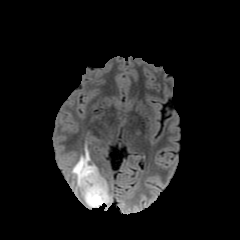
FLAIR MRI.
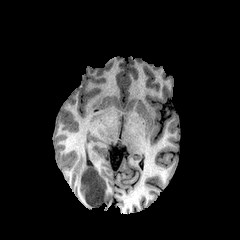
T1-weighted MRI.
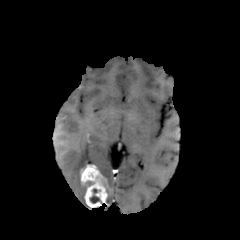
Post-contrast T1-weighted MR image of the same slice.
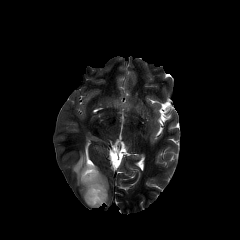
T2-weighted MR image.
Brain
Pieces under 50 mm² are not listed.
enhancing tumor = 80:164:107:207
necrotic tumor core = 90:196:99:203
peritumoral edema = 106:185:111:205, 72:145:89:197